Brain | Image covers 240 mm x 240 mm | Slice index 119
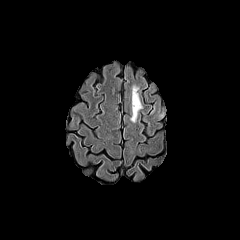
FLAIR MR.
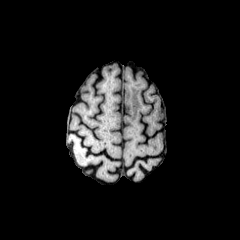
T1-weighted MRI of the same slice.
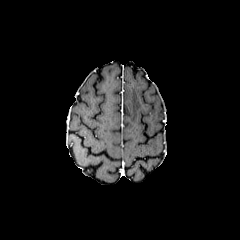
Same slice, post-contrast T1-weighted MR image.
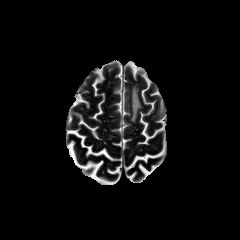
T2-weighted magnetic resonance of the same slice.
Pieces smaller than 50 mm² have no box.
peritumoral edema = (x1=130, y1=85, x2=142, y2=122)